Head.
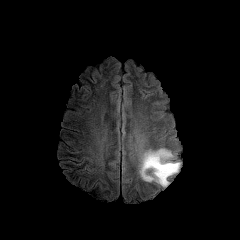
FLAIR MR.
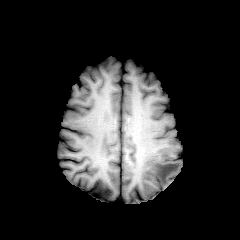
T1-weighted magnetic resonance of the same slice.
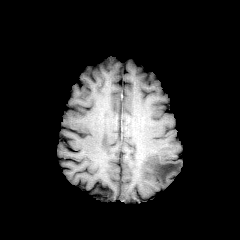
Post-contrast T1-weighted MR.
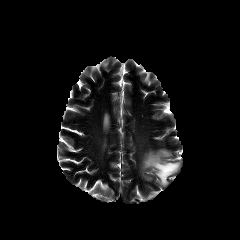
T2-weighted MR image.
peritumoral edema at l=141, t=149, r=180, b=186